Slice 67 of 155. Image covers 240 mm x 240 mm. Brain.
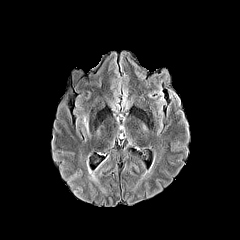
FLAIR MR image.
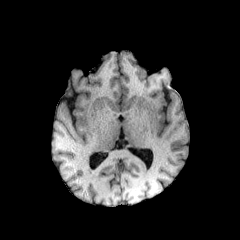
T1-weighted MR image.
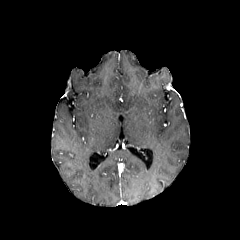
Post-contrast T1-weighted MRI.
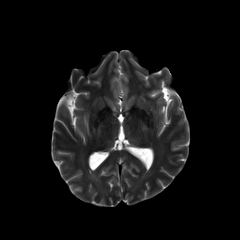
T2-weighted MRI.
peritumoral edema: bounding box <box>83,116,88,133</box>